Head; Image width 240 mm, 1.00 mm slice spacing; Axial view; 240x240; Slice index 93
FLAIR magnetic resonance.
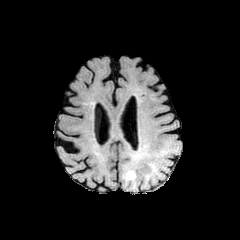
T1-weighted MRI.
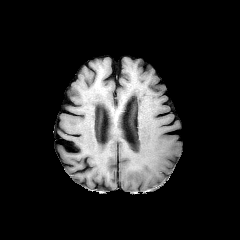
Post-contrast T1-weighted MRI.
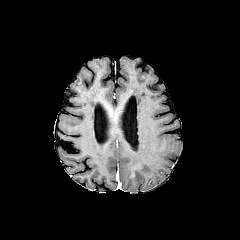
T2-weighted MR image.
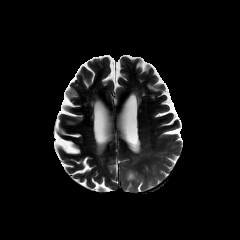
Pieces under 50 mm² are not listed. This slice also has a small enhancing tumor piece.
The peritumoral edema is bounded by [x1=126, y1=153, x2=136, y2=187].